Image width 240 mm, 1.00 mm slice spacing; Axial view; 240x240 px
FLAIR magnetic resonance.
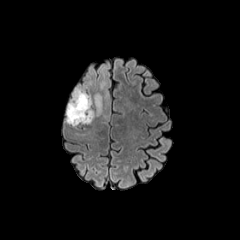
T1-weighted MRI.
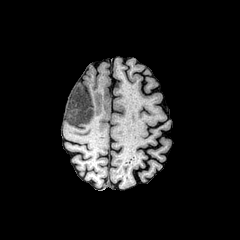
Post-contrast T1-weighted MR image.
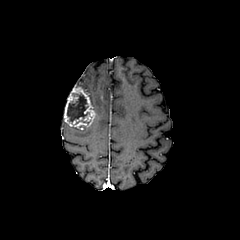
T2-weighted MR image.
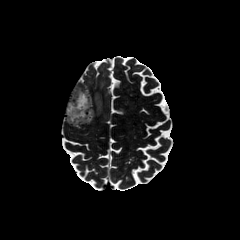
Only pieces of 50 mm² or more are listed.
necrotic tumor core: [67,94,88,122]
peritumoral edema: [94,66,107,115]
enhancing tumor: [64,87,96,126]